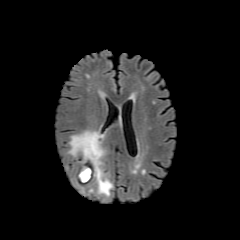
FLAIR MRI.
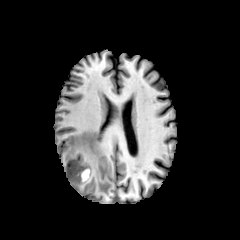
T1-weighted magnetic resonance of the same slice.
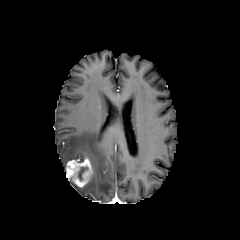
Post-contrast T1-weighted MRI of the same slice.
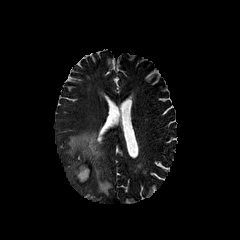
T2-weighted MR.
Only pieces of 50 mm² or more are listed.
The largest peritumoral edema region is bounded by <bbox>67, 130, 112, 196</bbox>. The necrotic tumor core appears at <bbox>78, 167, 87, 180</bbox>. The enhancing tumor appears at <bbox>66, 157, 94, 187</bbox>.